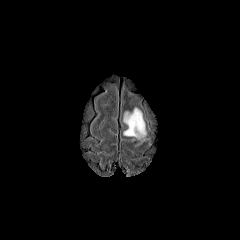
FLAIR MR image.
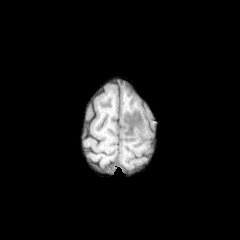
T1-weighted magnetic resonance of the same slice.
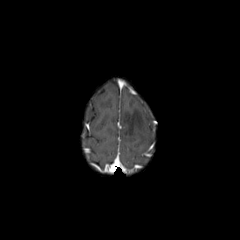
Post-contrast T1-weighted magnetic resonance.
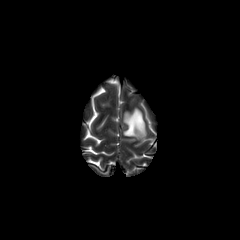
Same slice, T2-weighted MR image.
Axial slice, Head
<segmentation>
  <peritumoral_edema>(x1=123, y1=108, x2=146, y2=139)</peritumoral_edema>
</segmentation>